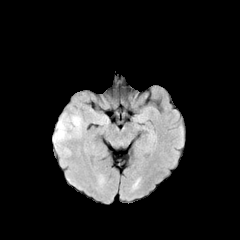
FLAIR MRI.
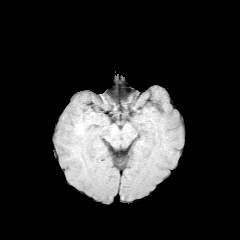
T1-weighted MR of the same slice.
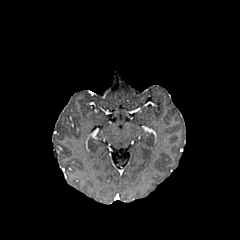
Post-contrast T1-weighted MRI of the same slice.
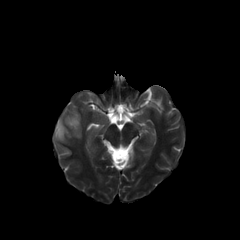
T2-weighted magnetic resonance.
Brain
The peritumoral edema is located at bbox(53, 101, 84, 154).